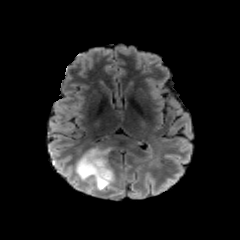
FLAIR magnetic resonance.
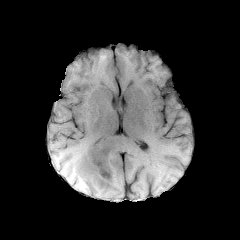
T1-weighted MRI of the same slice.
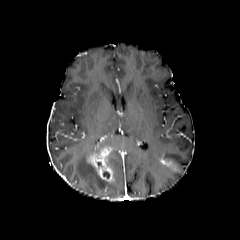
Post-contrast T1-weighted MRI.
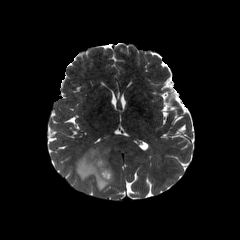
T2-weighted magnetic resonance.
Head
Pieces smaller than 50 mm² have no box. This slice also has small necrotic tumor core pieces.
- peritumoral edema: x1=75, y1=146, x2=115, y2=190
- enhancing tumor: x1=88, y1=148, x2=113, y2=182